Brain; Axial slice
FLAIR MR.
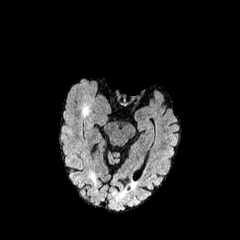
T1-weighted MR.
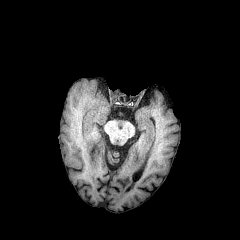
Post-contrast T1-weighted MR.
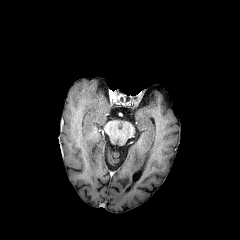
T2-weighted MR image.
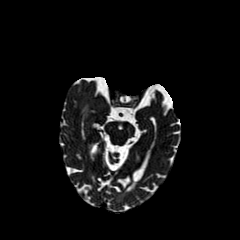
{
  "peritumoral_edema": [
    "[82,106,89,115]"
  ]
}